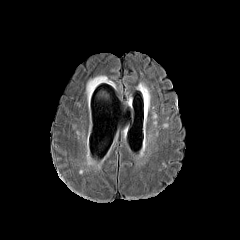
FLAIR MRI.
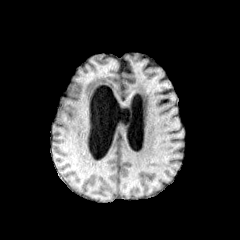
Same slice, T1-weighted magnetic resonance.
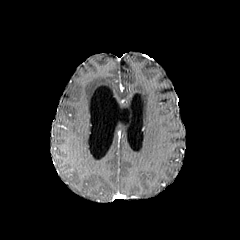
Post-contrast T1-weighted MR.
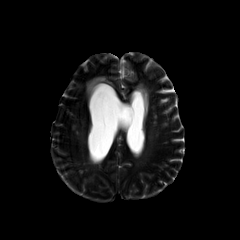
Same slice, T2-weighted MRI.
Image size 240x240, Axial plane, Brain
The peritumoral edema is located at bbox=[86, 76, 113, 99].